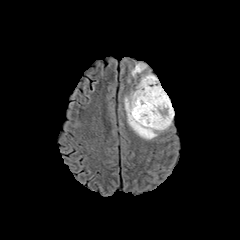
FLAIR magnetic resonance.
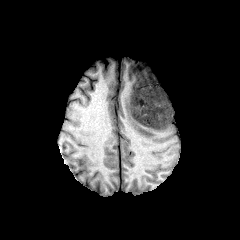
T1-weighted MR image of the same slice.
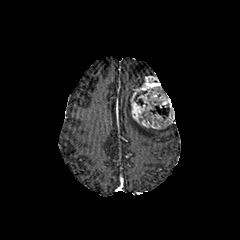
Same slice, post-contrast T1-weighted magnetic resonance.
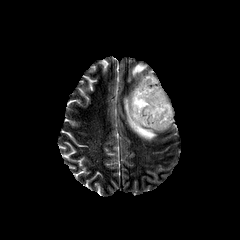
T2-weighted MR.
240x240; Axial plane; Head
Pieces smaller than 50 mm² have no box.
The 2 largest peritumoral edema regions are located at <box>132,63,146,76</box>, <box>124,91,170,139</box>. The largest necrotic tumor core region is located at <box>150,105,169,119</box>. The enhancing tumor is located at <box>130,75,174,129</box>.